Slice index 99, Axial plane
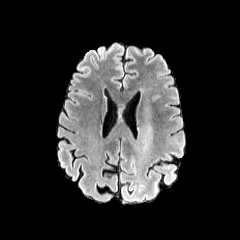
FLAIR MR.
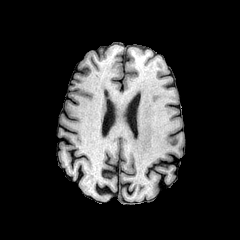
Same slice, T1-weighted MR image.
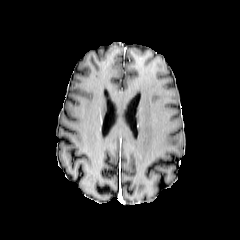
Post-contrast T1-weighted MR.
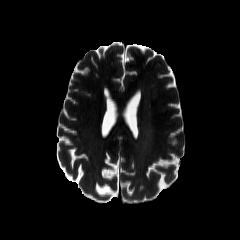
T2-weighted MR.
The peritumoral edema is bounded by [x1=145, y1=128, x2=150, y2=138].